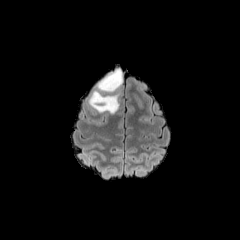
FLAIR MR image.
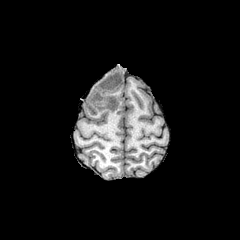
T1-weighted MRI.
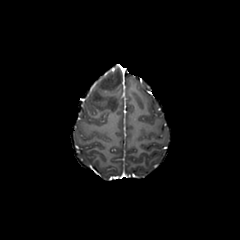
Post-contrast T1-weighted magnetic resonance of the same slice.
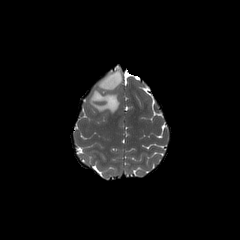
T2-weighted magnetic resonance.
Brain
peritumoral edema: bounding box [x1=89, y1=91, x2=119, y2=113], [x1=97, y1=68, x2=122, y2=90]